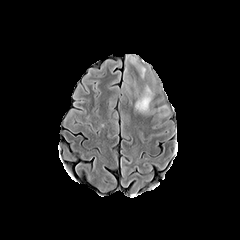
FLAIR MR image.
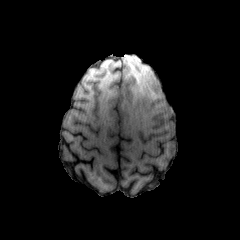
T1-weighted magnetic resonance.
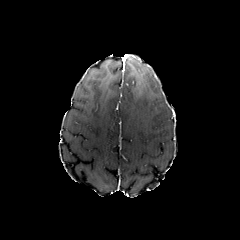
Post-contrast T1-weighted magnetic resonance.
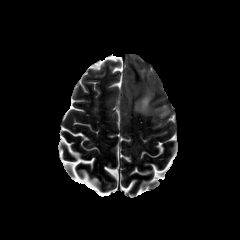
Same slice, T2-weighted MR.
Axial slice. Brain.
The peritumoral edema lies within bbox=[135, 96, 150, 111].